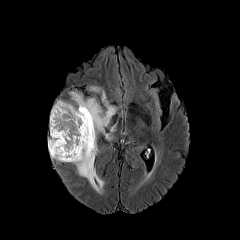
FLAIR MRI.
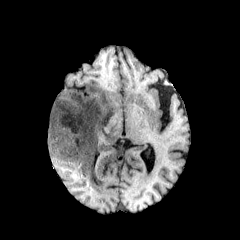
Same slice, T1-weighted MR.
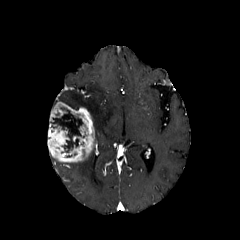
Post-contrast T1-weighted MR.
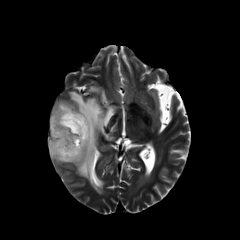
T2-weighted MR image of the same slice.
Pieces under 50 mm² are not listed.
Segmented structures:
- enhancing tumor: <bbox>48, 101, 96, 162</bbox>
- necrotic tumor core: <bbox>50, 108, 82, 152</bbox>
- peritumoral edema: <bbox>59, 91, 116, 140</bbox>, <bbox>89, 86, 105, 101</bbox>, <bbox>70, 148, 103, 192</bbox>